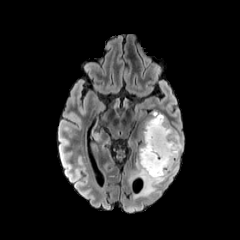
FLAIR magnetic resonance.
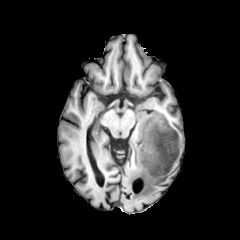
Same slice, T1-weighted MR image.
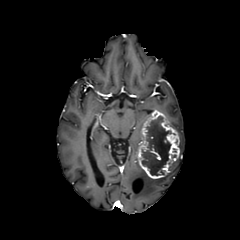
Same slice, post-contrast T1-weighted MRI.
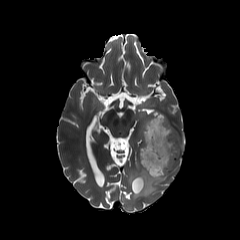
T2-weighted MR of the same slice.
240x240 px | Axial slice | Brain
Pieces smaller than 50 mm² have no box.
<segmentation>
  <enhancing_tumor>box=[137, 110, 179, 179]</enhancing_tumor>
  <peritumoral_edema>box=[129, 126, 183, 198]</peritumoral_edema>
  <necrotic_tumor_core>box=[142, 116, 171, 175]</necrotic_tumor_core>
</segmentation>